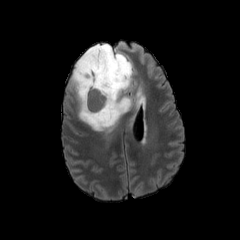
FLAIR MRI.
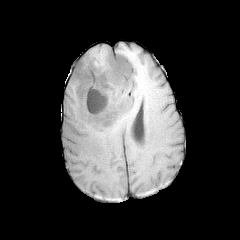
T1-weighted magnetic resonance of the same slice.
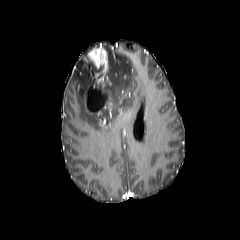
Post-contrast T1-weighted MR image of the same slice.
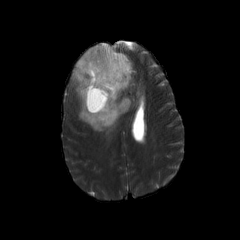
Same slice, T2-weighted MRI.
Brain. Image size 240x240.
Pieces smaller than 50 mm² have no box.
The largest peritumoral edema region appears at 68, 43, 132, 132. The largest necrotic tumor core region is at 87, 86, 106, 111. The 4 largest enhancing tumor regions are bounded by 84, 45, 108, 117; 106, 99, 112, 118; 102, 90, 111, 97; 99, 117, 110, 126.